Head, Image size 240x240
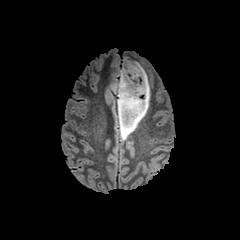
FLAIR MR.
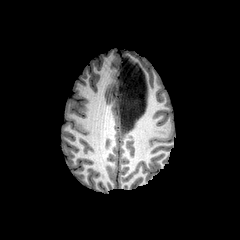
Same slice, T1-weighted MRI.
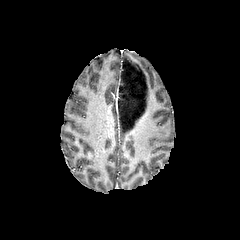
Post-contrast T1-weighted MRI of the same slice.
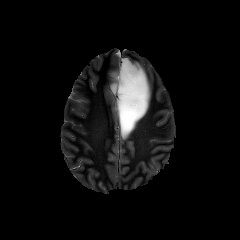
T2-weighted MR of the same slice.
* peritumoral edema: box(118, 58, 150, 140); box(110, 67, 120, 94)